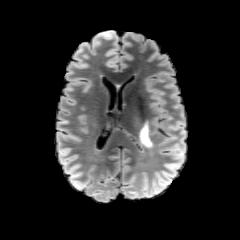
FLAIR MRI.
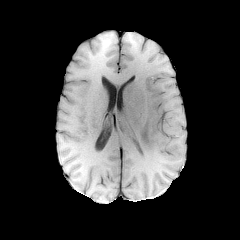
T1-weighted magnetic resonance.
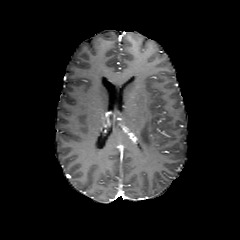
Same slice, post-contrast T1-weighted MR image.
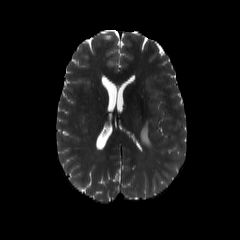
T2-weighted MRI.
Head. Axial slice. Image size 240x240.
{
  "peritumoral_edema": [
    "rect(140, 123, 152, 147)"
  ]
}